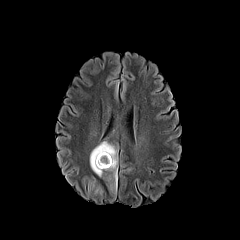
FLAIR MR.
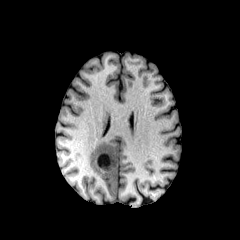
T1-weighted MR of the same slice.
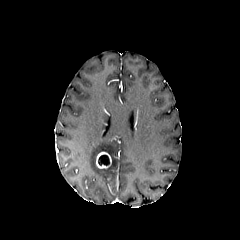
Same slice, post-contrast T1-weighted magnetic resonance.
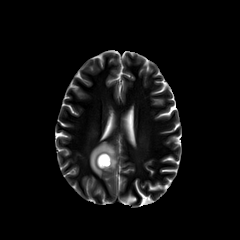
T2-weighted MR image.
240x240 px, Head
Findings:
* peritumoral edema: x1=90, y1=141, x2=117, y2=188
* enhancing tumor: x1=96, y1=152, x2=111, y2=168
* necrotic tumor core: x1=98, y1=155, x2=109, y2=165